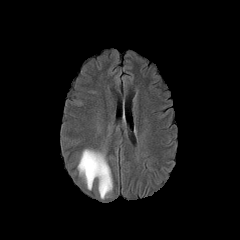
FLAIR MR image.
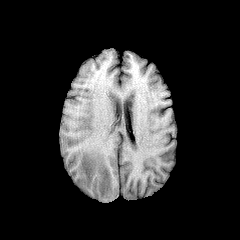
T1-weighted magnetic resonance of the same slice.
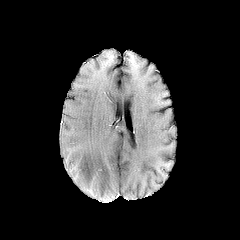
Post-contrast T1-weighted MRI of the same slice.
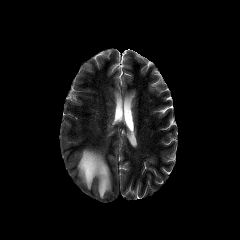
T2-weighted MR image of the same slice.
Brain, 240x240 px
peritumoral_edema:
  - 77:149:112:198